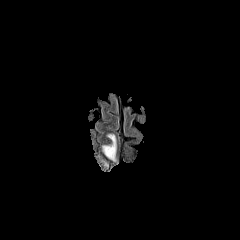
FLAIR MRI.
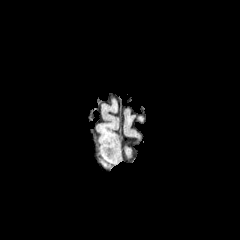
T1-weighted MR image of the same slice.
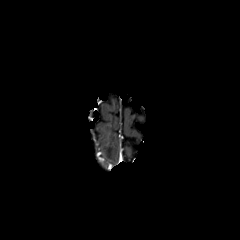
Same slice, post-contrast T1-weighted MR.
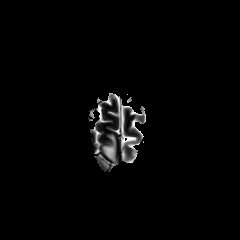
T2-weighted magnetic resonance.
Axial plane, 240x240 px
The peritumoral edema lies within x1=102, y1=134, x2=116, y2=161.